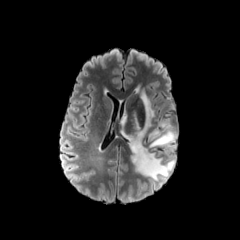
FLAIR MR.
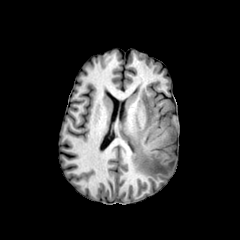
T1-weighted MR.
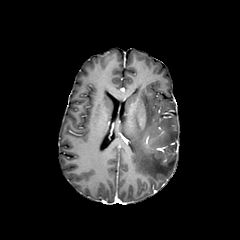
Post-contrast T1-weighted magnetic resonance.
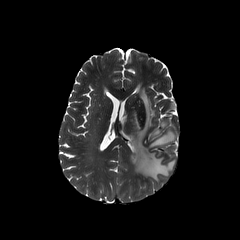
T2-weighted MR image.
Axial plane. Brain.
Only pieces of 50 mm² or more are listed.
{
  "peritumoral_edema": [
    "121,92,175,181"
  ]
}